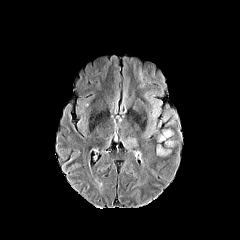
FLAIR MR.
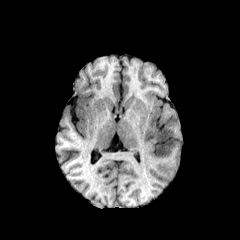
T1-weighted MR image.
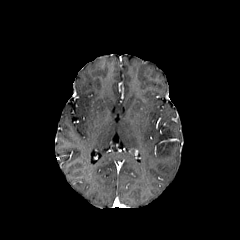
Post-contrast T1-weighted MRI.
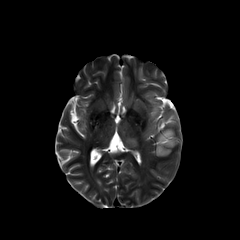
T2-weighted MR.
Brain
peritumoral edema = 157, 130, 173, 141; 123, 138, 138, 149; 157, 144, 171, 155; 161, 110, 176, 126; 165, 141, 179, 147